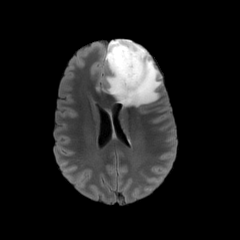
FLAIR MRI.
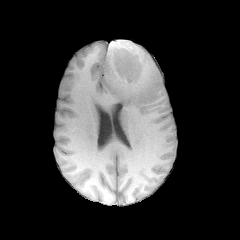
T1-weighted magnetic resonance.
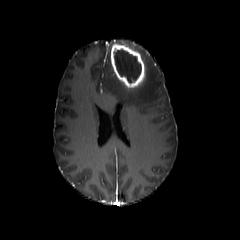
Post-contrast T1-weighted MR.
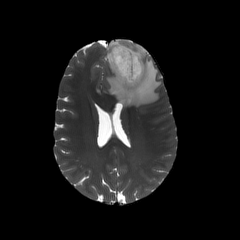
T2-weighted MR.
Axial plane. Head.
The necrotic tumor core is bounded by [114,49,141,82]. The peritumoral edema is at [96,39,161,106]. The enhancing tumor is located at [110,42,145,89].